Slice 109/155. 240x240 px. Head. Image width 240 mm. Axial view.
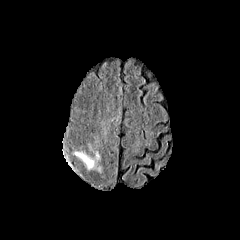
FLAIR MRI.
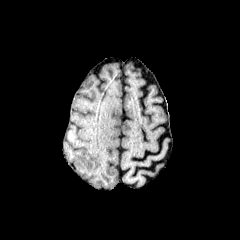
T1-weighted MR image.
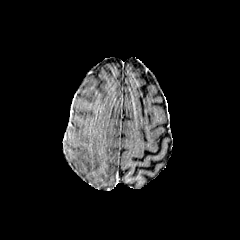
Same slice, post-contrast T1-weighted MR.
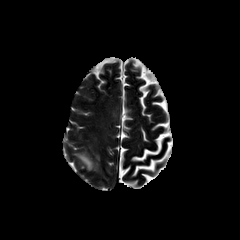
T2-weighted magnetic resonance.
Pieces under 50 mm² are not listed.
The largest peritumoral edema region appears at (75,152,95,169).